Image width 240 mm, 1.00 mm slice spacing. Axial plane. Head. Slice 93 of 155.
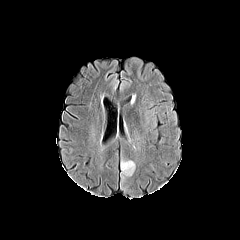
FLAIR MR.
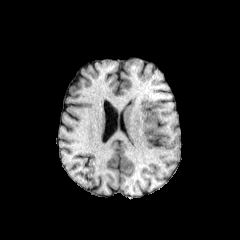
T1-weighted MR image of the same slice.
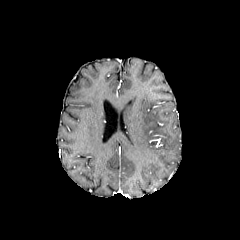
Post-contrast T1-weighted MR image.
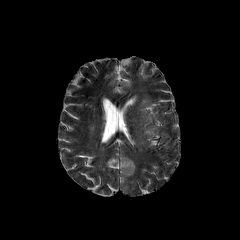
T2-weighted MRI.
peritumoral edema: bounding box box(121, 161, 135, 175)